FLAIR magnetic resonance.
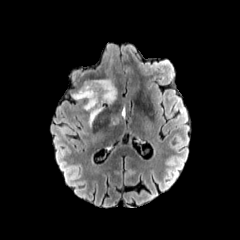
T1-weighted MR image.
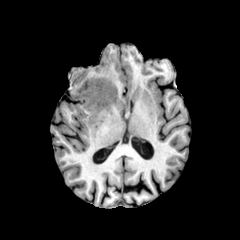
Post-contrast T1-weighted MRI.
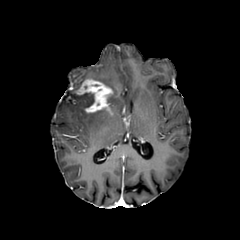
T2-weighted MR.
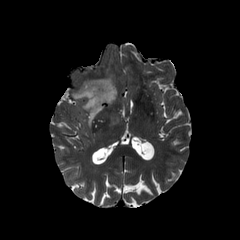
Brain
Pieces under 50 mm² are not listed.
The enhancing tumor is bounded by 75:79:113:112. The 4 largest peritumoral edema regions are located at 88:110:101:127, 97:78:116:106, 72:93:94:108, 108:115:118:126.